FLAIR MRI.
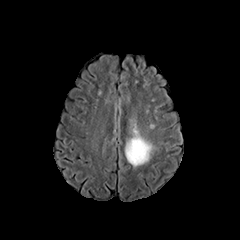
T1-weighted magnetic resonance.
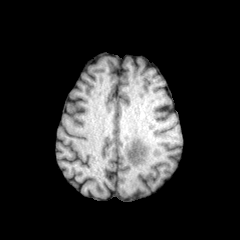
Post-contrast T1-weighted MR image.
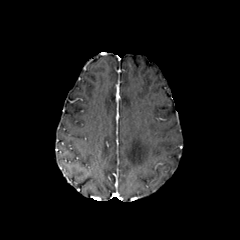
T2-weighted magnetic resonance.
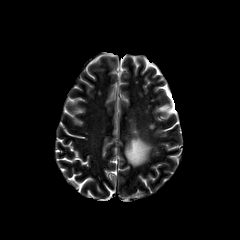
Head. Axial slice.
Segmented structures:
- peritumoral edema: region(125, 119, 154, 166)